Slice 75 of 155; Axial slice
FLAIR MR.
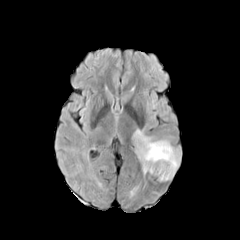
T1-weighted magnetic resonance.
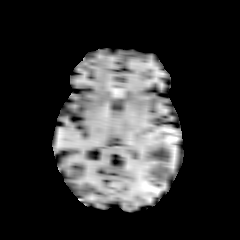
Post-contrast T1-weighted MR image.
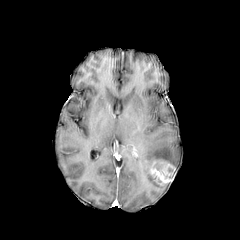
T2-weighted MRI.
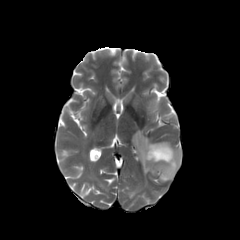
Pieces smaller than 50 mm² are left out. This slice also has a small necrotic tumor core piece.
- peritumoral edema: {"x1": 133, "y1": 129, "x2": 180, "y2": 173}
- enhancing tumor: {"x1": 149, "y1": 159, "x2": 175, "y2": 183}